Slice 56/155; Axial plane; Head
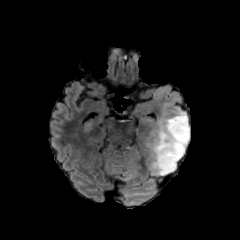
FLAIR MRI.
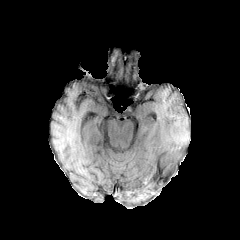
T1-weighted MR.
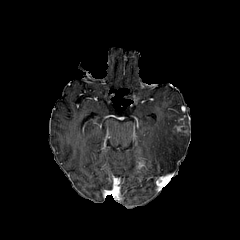
Post-contrast T1-weighted MR.
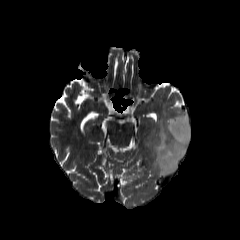
T2-weighted MR.
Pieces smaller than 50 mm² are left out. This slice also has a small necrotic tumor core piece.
peritumoral_edema:
  - 147, 106, 189, 175
enhancing_tumor:
  - 172, 115, 187, 132